Axial plane | Head
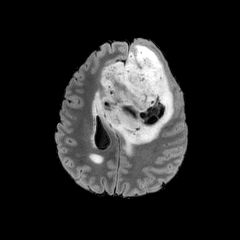
FLAIR MR.
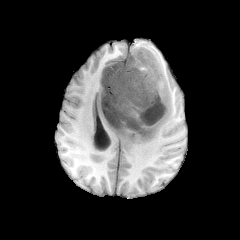
Same slice, T1-weighted MR image.
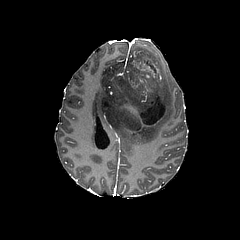
Post-contrast T1-weighted magnetic resonance.
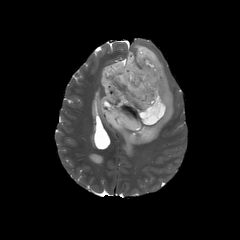
Same slice, T2-weighted MRI.
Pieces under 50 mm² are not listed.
Segmented structures:
* peritumoral edema: (92,44,173,153)
* necrotic tumor core: (100,50,167,135)